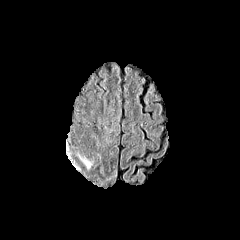
FLAIR magnetic resonance.
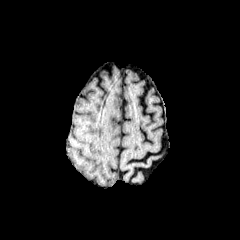
Same slice, T1-weighted MR image.
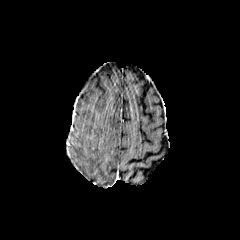
Post-contrast T1-weighted magnetic resonance.
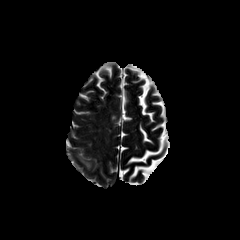
Same slice, T2-weighted MR.
Axial view
The peritumoral edema is located at left=82, top=159, right=91, bottom=168.